Axial plane | Image width 240 mm
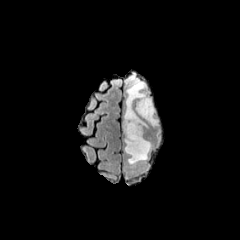
FLAIR MR.
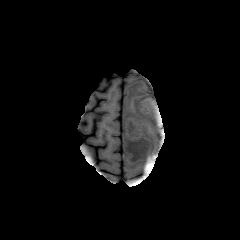
T1-weighted MR image.
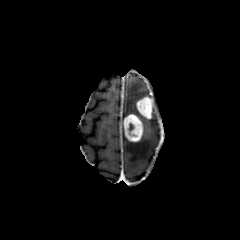
Post-contrast T1-weighted MR.
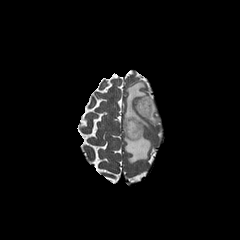
T2-weighted MR of the same slice.
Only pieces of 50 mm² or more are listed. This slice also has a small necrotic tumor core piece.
{"peritumoral_edema": ["[x1=148, y1=108, x2=157, y2=125]", "[x1=124, y1=136, x2=151, y2=164]", "[x1=124, y1=81, x2=147, y2=117]"], "enhancing_tumor": ["[x1=136, y1=96, x2=153, y2=119]", "[x1=123, y1=114, x2=143, y2=141]"]}